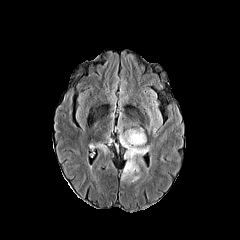
FLAIR MRI.
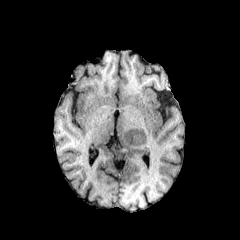
T1-weighted MRI.
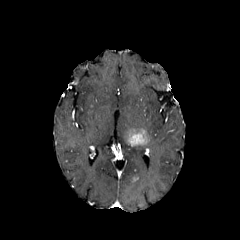
Post-contrast T1-weighted MRI.
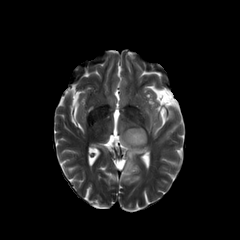
T2-weighted MR.
Axial plane
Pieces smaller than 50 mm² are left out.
peritumoral_edema:
  - box=[119, 129, 149, 179]
  - box=[95, 143, 109, 154]
enhancing_tumor:
  - box=[125, 129, 146, 146]